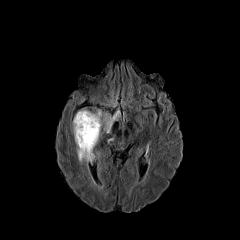
FLAIR MR image.
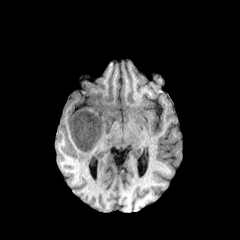
Same slice, T1-weighted magnetic resonance.
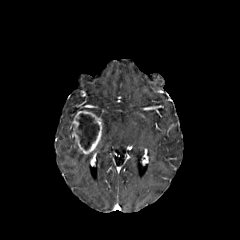
Post-contrast T1-weighted magnetic resonance.
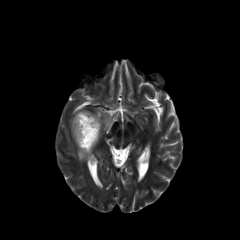
T2-weighted MR image of the same slice.
Head
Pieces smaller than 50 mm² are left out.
{
  "peritumoral_edema": [
    "77:146:92:162",
    "102:116:115:133"
  ],
  "enhancing_tumor": [
    "71:110:102:154"
  ],
  "necrotic_tumor_core": [
    "77:114:99:149"
  ]
}